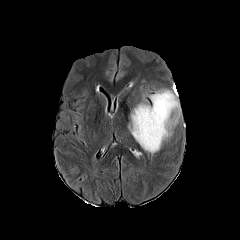
FLAIR magnetic resonance.
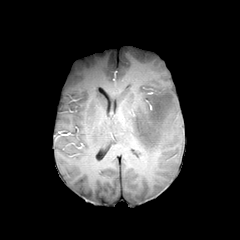
T1-weighted MRI.
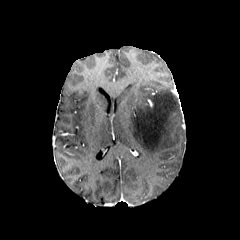
Post-contrast T1-weighted MRI.
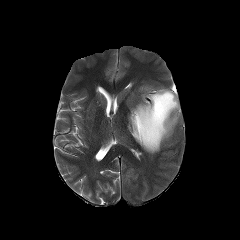
Same slice, T2-weighted MRI.
Axial view. Image size 240x240. Brain.
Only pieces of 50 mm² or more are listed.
peritumoral edema: [x1=128, y1=89, x2=180, y2=153]